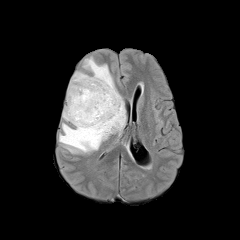
FLAIR magnetic resonance.
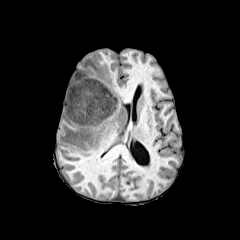
T1-weighted magnetic resonance.
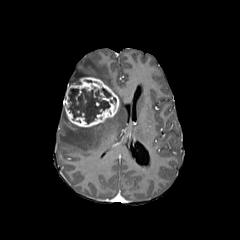
Post-contrast T1-weighted MR.
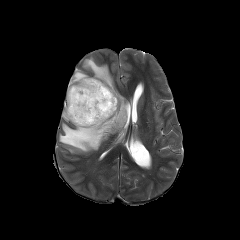
T2-weighted MRI of the same slice.
Brain, Axial slice
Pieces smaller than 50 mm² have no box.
- necrotic tumor core: 68:88:110:123, 101:88:111:97
- peritumoral edema: 59:57:126:153
- enhancing tumor: 64:77:119:127